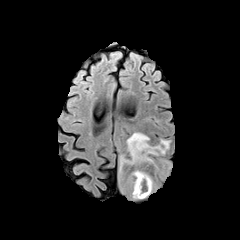
FLAIR MRI.
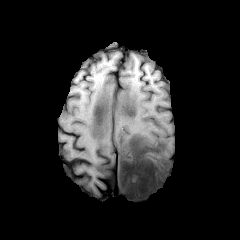
T1-weighted MR.
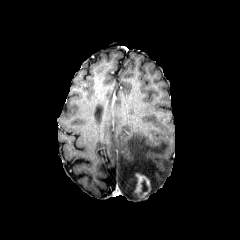
Same slice, post-contrast T1-weighted MR.
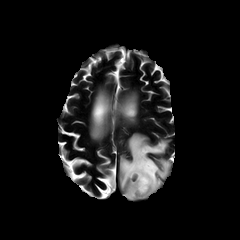
Same slice, T2-weighted MR image.
Brain | 240x240 px | Axial view
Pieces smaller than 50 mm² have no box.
Annotated regions:
* peritumoral edema: [x1=119, y1=133, x2=171, y2=199]
* necrotic tumor core: [x1=140, y1=181, x2=147, y2=193]
* enhancing tumor: [x1=133, y1=173, x2=151, y2=198]